Image width 240 mm, 1.00 mm slice spacing.
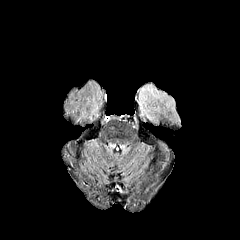
FLAIR MR.
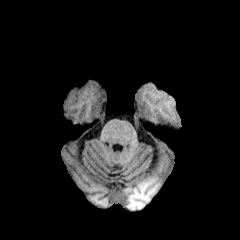
Same slice, T1-weighted MR image.
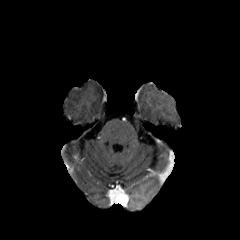
Post-contrast T1-weighted magnetic resonance.
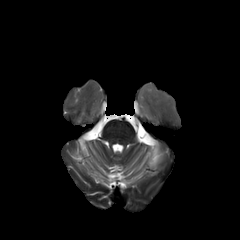
T2-weighted MR image of the same slice.
peritumoral_edema:
  - <bbox>140, 85, 177, 122</bbox>